Head; Axial view
FLAIR MR.
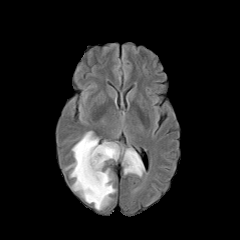
T1-weighted MRI.
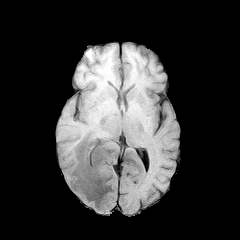
Post-contrast T1-weighted MR.
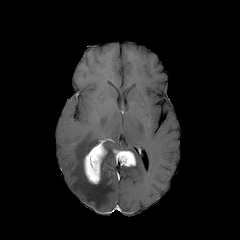
T2-weighted magnetic resonance.
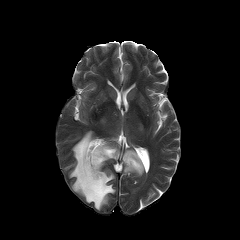
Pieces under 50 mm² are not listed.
The 2 largest peritumoral edema regions are located at x1=66, y1=131, x2=120, y2=209; x1=124, y1=148, x2=144, y2=176. 2 enhancing tumor regions are located at x1=113, y1=149, x2=136, y2=166; x1=83, y1=142, x2=107, y2=184. The largest necrotic tumor core region appears at x1=89, y1=154, x2=97, y2=170.